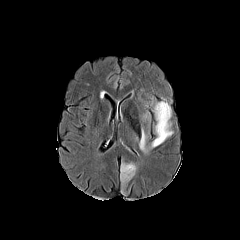
FLAIR magnetic resonance.
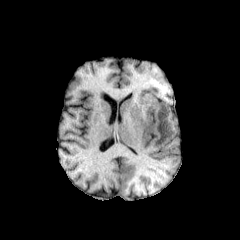
T1-weighted magnetic resonance.
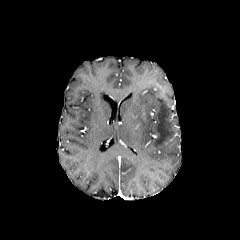
Post-contrast T1-weighted MRI of the same slice.
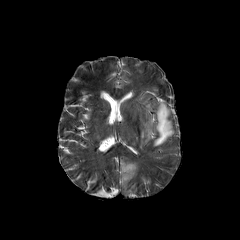
T2-weighted MR of the same slice.
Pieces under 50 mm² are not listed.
peritumoral edema = <bbox>143, 111, 150, 121</bbox>, <bbox>149, 101, 173, 149</bbox>, <bbox>121, 163, 136, 183</bbox>, <bbox>139, 127, 148, 152</bbox>